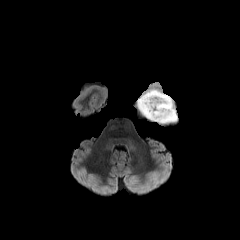
FLAIR magnetic resonance.
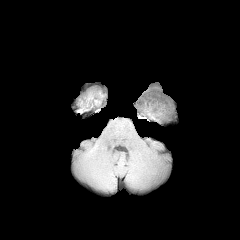
T1-weighted MR.
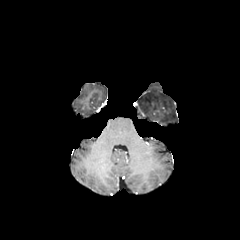
Post-contrast T1-weighted MR image of the same slice.
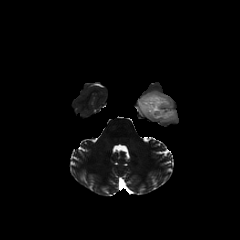
T2-weighted MR.
The peritumoral edema appears at left=137, top=89, right=177, bottom=123.